FLAIR MRI.
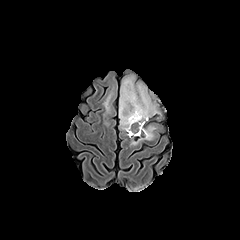
T1-weighted magnetic resonance.
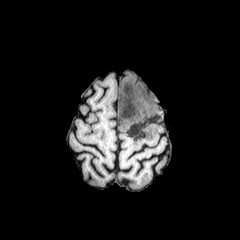
Post-contrast T1-weighted magnetic resonance.
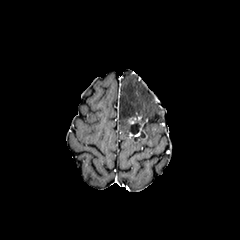
T2-weighted MRI.
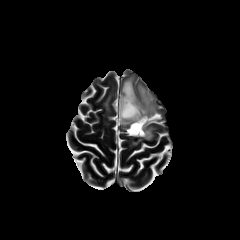
Axial view
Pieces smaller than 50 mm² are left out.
enhancing tumor: bbox=[128, 116, 144, 137] | necrotic tumor core: bbox=[128, 122, 140, 135]; bbox=[121, 87, 142, 118] | peritumoral edema: bbox=[119, 76, 159, 131]; bbox=[131, 126, 155, 145]; bbox=[103, 93, 111, 112]